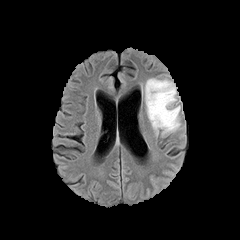
FLAIR MRI.
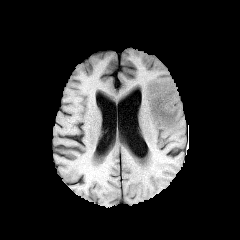
T1-weighted MR image.
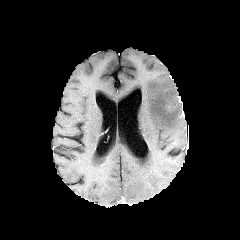
Post-contrast T1-weighted MR.
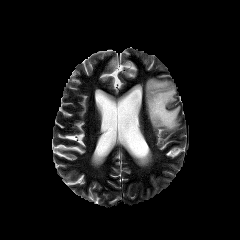
T2-weighted magnetic resonance.
Axial view
• peritumoral edema: (x1=145, y1=78, x2=180, y2=135)